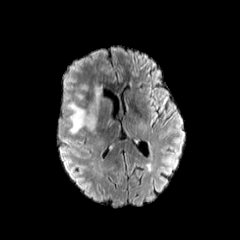
FLAIR MR.
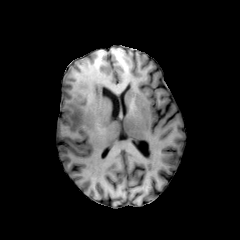
T1-weighted magnetic resonance.
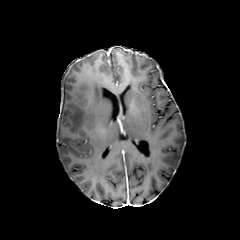
Post-contrast T1-weighted MR.
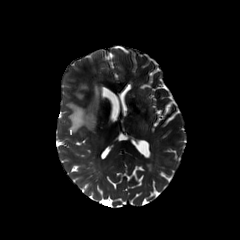
T2-weighted MR image.
Head, Image size 240x240
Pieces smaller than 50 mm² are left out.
peritumoral edema at bbox(67, 85, 102, 132); bbox(75, 92, 83, 99)